FLAIR magnetic resonance.
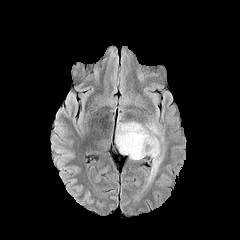
T1-weighted MR image.
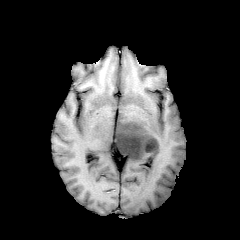
Post-contrast T1-weighted magnetic resonance.
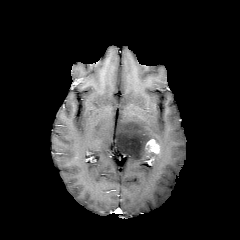
T2-weighted MR.
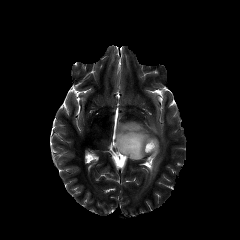
Axial slice
enhancing tumor = [145,139,159,153]
peritumoral edema = [115,114,164,180]